Axial plane
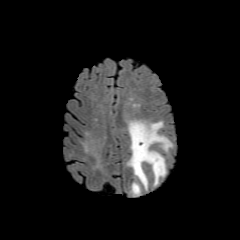
FLAIR MRI.
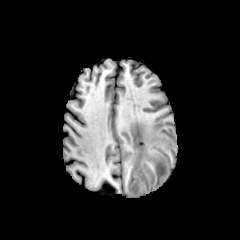
T1-weighted MR.
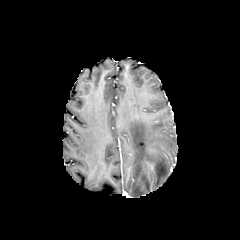
Same slice, post-contrast T1-weighted MRI.
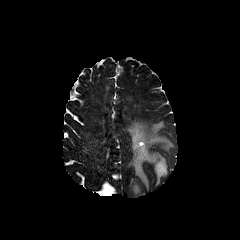
Same slice, T2-weighted magnetic resonance.
Findings:
- peritumoral edema: [127,120,172,194]